Image covers 240 mm x 240 mm; Slice 118 of 155
FLAIR magnetic resonance.
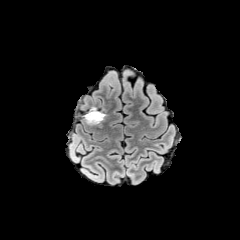
T1-weighted MRI.
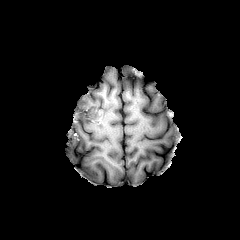
Post-contrast T1-weighted MRI.
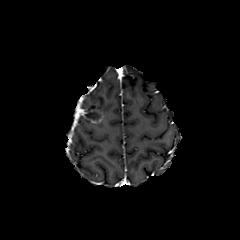
T2-weighted MRI.
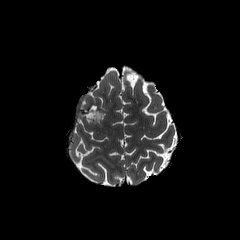
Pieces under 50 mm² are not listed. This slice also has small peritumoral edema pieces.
Annotated regions:
* necrotic tumor core: rect(85, 112, 100, 120)
* enhancing tumor: rect(83, 108, 104, 123)